Slice 98 of 155; Axial slice
FLAIR magnetic resonance.
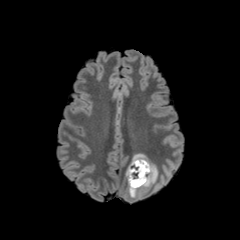
T1-weighted MRI.
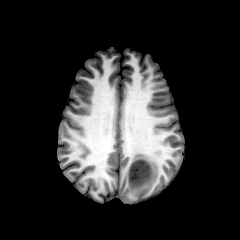
Post-contrast T1-weighted MRI.
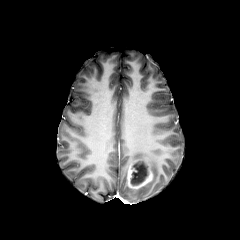
T2-weighted MR image.
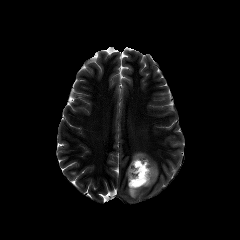
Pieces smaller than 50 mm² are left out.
peritumoral edema: (left=128, top=153, right=157, bottom=197)
necrotic tumor core: (left=130, top=161, right=148, bottom=185)
enhancing tumor: (left=127, top=159, right=153, bottom=188)